FLAIR MRI.
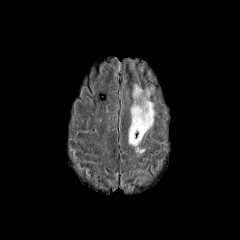
T1-weighted MRI.
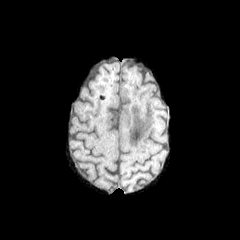
Post-contrast T1-weighted magnetic resonance.
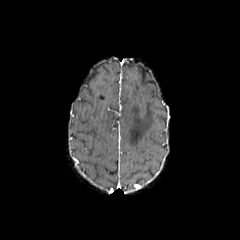
T2-weighted magnetic resonance.
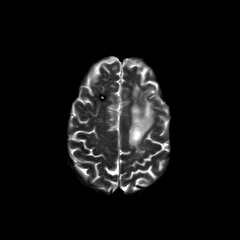
240x240 px, Head
peritumoral edema — [x1=128, y1=85, x2=154, y2=153]